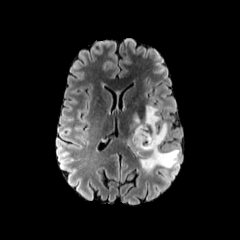
FLAIR magnetic resonance.
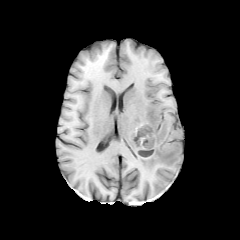
Same slice, T1-weighted MR.
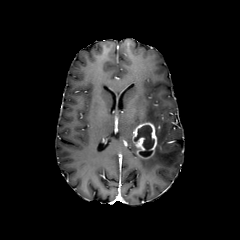
Same slice, post-contrast T1-weighted MRI.
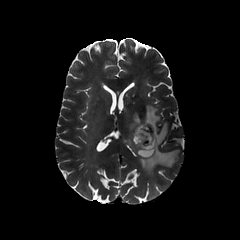
T2-weighted magnetic resonance of the same slice.
The peritumoral edema lies within box(126, 105, 179, 174). The necrotic tumor core is at box(134, 124, 154, 157). The enhancing tumor lies within box(132, 122, 157, 158).